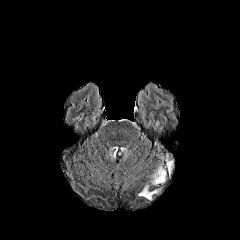
FLAIR MRI.
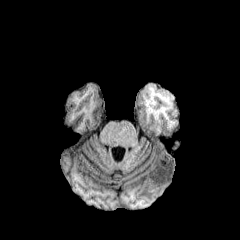
T1-weighted magnetic resonance of the same slice.
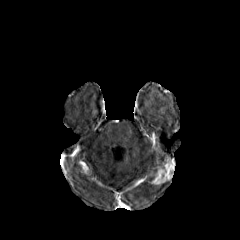
Post-contrast T1-weighted MR of the same slice.
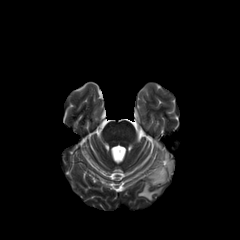
Same slice, T2-weighted MR image.
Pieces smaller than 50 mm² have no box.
The enhancing tumor is at box(151, 156, 173, 184). The largest peritumoral edema region lies within box(138, 184, 160, 200).